Axial slice
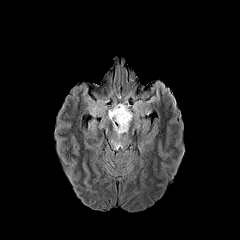
FLAIR MRI.
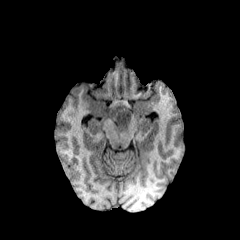
Same slice, T1-weighted MR.
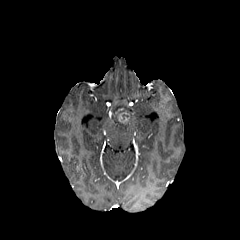
Post-contrast T1-weighted MRI.
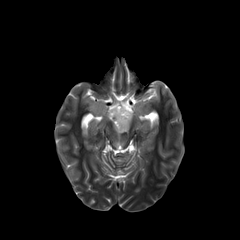
T2-weighted MRI of the same slice.
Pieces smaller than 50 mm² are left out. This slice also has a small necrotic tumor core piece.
- peritumoral edema: [87, 101, 106, 114], [107, 104, 133, 139], [112, 140, 123, 148]
- enhancing tumor: [109, 108, 130, 123]